Brain.
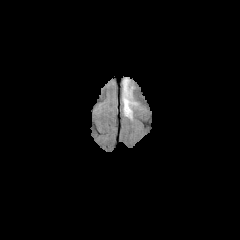
FLAIR MRI.
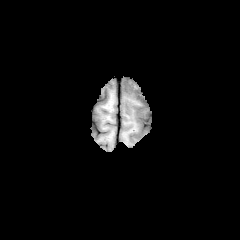
Same slice, T1-weighted magnetic resonance.
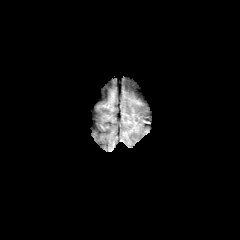
Post-contrast T1-weighted MR.
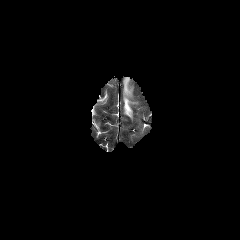
T2-weighted MR image.
Segmented structures:
* peritumoral edema: [123, 77, 136, 118]